Image size 240x240; Axial plane; Brain
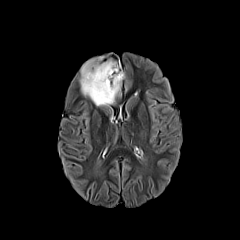
FLAIR MR.
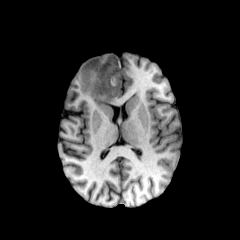
T1-weighted MRI.
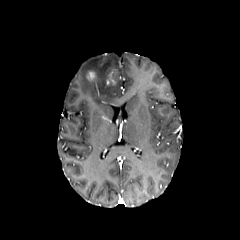
Post-contrast T1-weighted MR image.
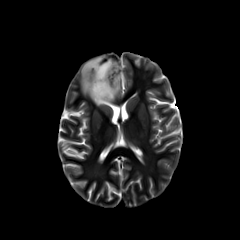
Same slice, T2-weighted MR.
<segmentation>
  <peritumoral_edema>bbox=[79, 56, 124, 106]</peritumoral_edema>
  <enhancing_tumor>bbox=[106, 70, 116, 84]; bbox=[86, 71, 95, 80]</enhancing_tumor>
</segmentation>